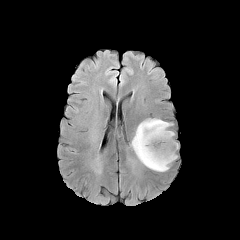
FLAIR magnetic resonance.
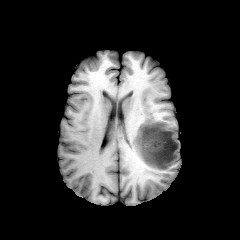
Same slice, T1-weighted magnetic resonance.
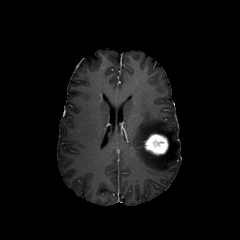
Post-contrast T1-weighted MRI of the same slice.
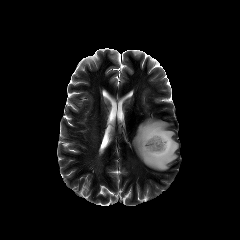
T2-weighted MR image.
Brain
Findings:
• enhancing tumor: x1=144, y1=133, x2=168, y2=155
• peritumoral edema: x1=132, y1=118, x2=178, y2=171